240x240 px
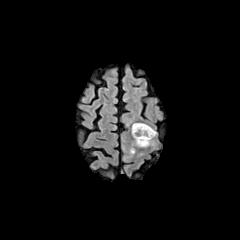
FLAIR MRI.
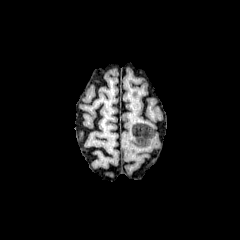
T1-weighted MR.
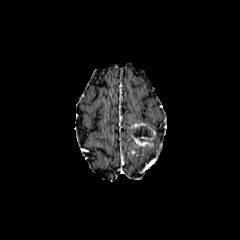
Post-contrast T1-weighted MRI.
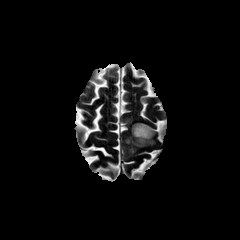
T2-weighted magnetic resonance.
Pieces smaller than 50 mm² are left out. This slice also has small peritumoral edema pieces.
{
  "necrotic_tumor_core": [
    "x1=133 y1=126 x2=151 y2=141"
  ],
  "enhancing_tumor": [
    "x1=131 y1=123 x2=155 y2=146"
  ]
}